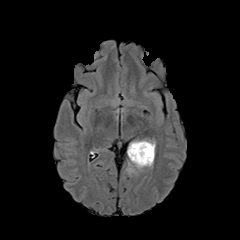
FLAIR magnetic resonance.
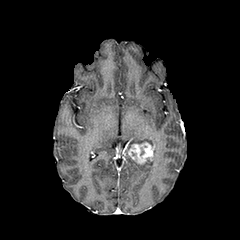
Same slice, T1-weighted MR.
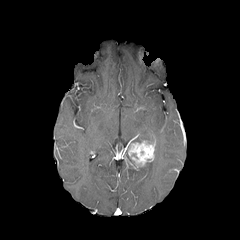
Post-contrast T1-weighted MRI.
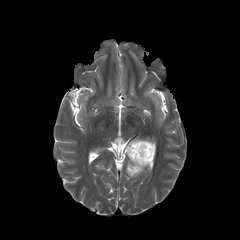
T2-weighted MR of the same slice.
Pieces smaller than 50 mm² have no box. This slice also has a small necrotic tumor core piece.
The 2 largest peritumoral edema regions are located at 138, 160, 153, 171; 126, 163, 137, 176. The enhancing tumor appears at 128, 140, 155, 168.